240x240
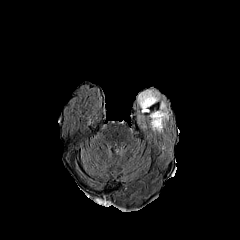
FLAIR MR.
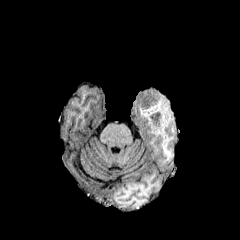
T1-weighted MRI.
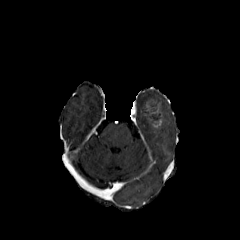
Post-contrast T1-weighted MR image.
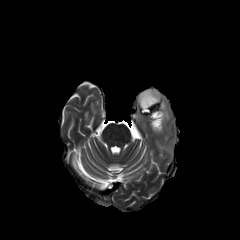
T2-weighted MR image.
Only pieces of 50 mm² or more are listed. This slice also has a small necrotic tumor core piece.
peritumoral edema: [137, 90, 160, 112], [152, 101, 169, 132] | enhancing tumor: [150, 110, 162, 128]